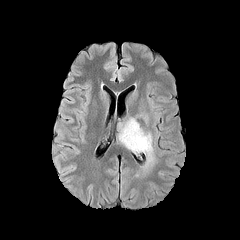
FLAIR MR.
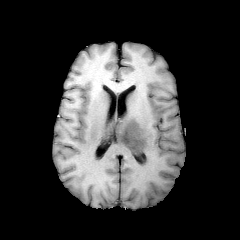
T1-weighted magnetic resonance.
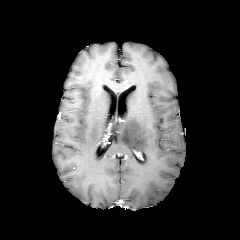
Post-contrast T1-weighted MR.
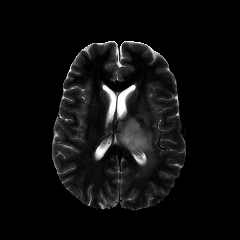
T2-weighted MR image.
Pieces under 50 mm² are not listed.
peritumoral edema = <bbox>117, 117, 155, 169</bbox>